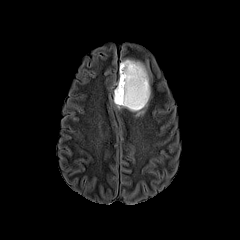
FLAIR magnetic resonance.
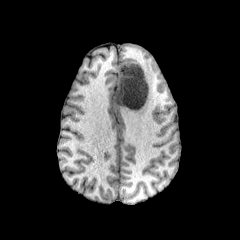
Same slice, T1-weighted MR image.
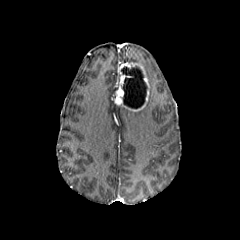
Post-contrast T1-weighted MR image.
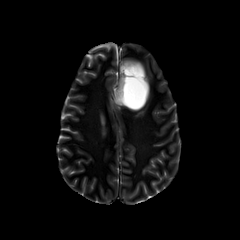
T2-weighted MR image of the same slice.
Axial view.
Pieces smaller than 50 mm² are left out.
enhancing tumor at bbox(114, 62, 149, 111)
peritumoral edema at bbox(121, 58, 150, 116)
necrotic tumor core at bbox(121, 67, 147, 108)